Head.
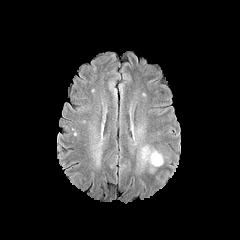
FLAIR MR.
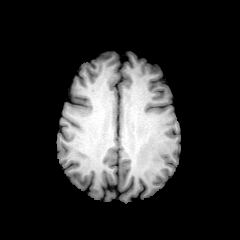
T1-weighted MRI of the same slice.
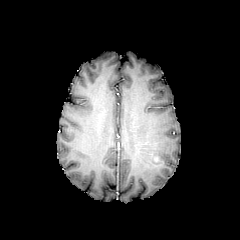
Post-contrast T1-weighted MR image of the same slice.
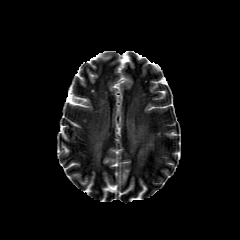
T2-weighted MR image of the same slice.
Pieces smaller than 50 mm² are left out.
peritumoral_edema:
  - (left=151, top=152, right=162, bottom=165)